Image size 240x240, Head
FLAIR MRI.
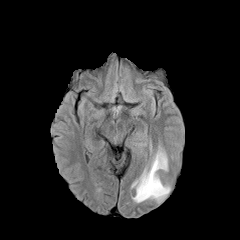
T1-weighted MRI.
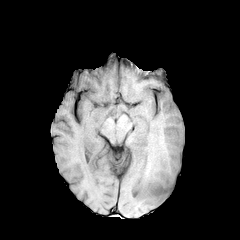
Post-contrast T1-weighted MR.
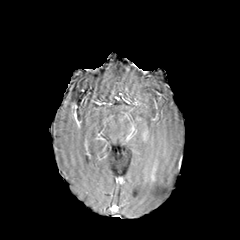
T2-weighted magnetic resonance.
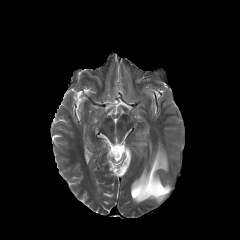
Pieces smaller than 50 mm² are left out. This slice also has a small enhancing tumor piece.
peritumoral edema — 132 146 170 202